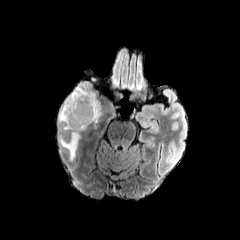
FLAIR MRI.
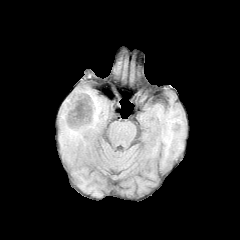
T1-weighted MR.
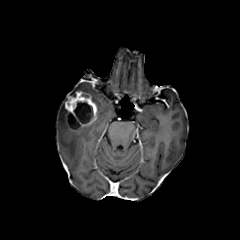
Post-contrast T1-weighted magnetic resonance of the same slice.
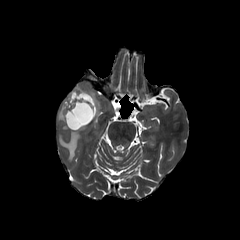
T2-weighted MR image of the same slice.
Image size 240x240
The enhancing tumor appears at [x1=65, y1=90, x2=97, y2=130]. 2 necrotic tumor core regions are bounded by [x1=74, y1=102, x2=93, y2=123], [x1=67, y1=112, x2=80, y2=128]. 3 peritumoral edema regions are bounded by [x1=59, y1=126, x2=86, y2=160], [x1=69, y1=84, x2=100, y2=128], [x1=58, y1=97, x2=69, y2=130].